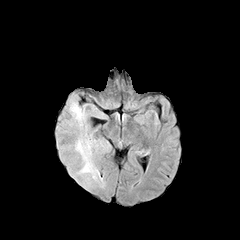
FLAIR MR image.
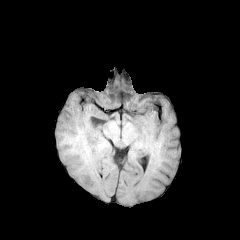
T1-weighted magnetic resonance.
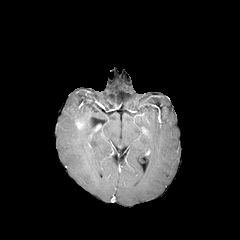
Same slice, post-contrast T1-weighted MR.
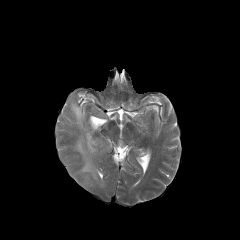
T2-weighted MR image.
Brain
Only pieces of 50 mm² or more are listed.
peritumoral edema: [69,101,106,187] | enhancing tumor: [76,120,83,128]